FLAIR MRI.
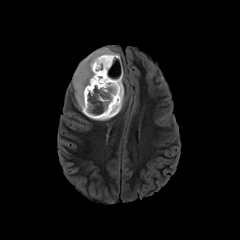
T1-weighted MR.
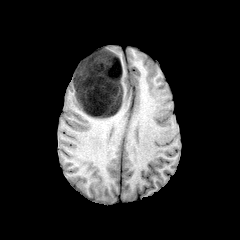
Post-contrast T1-weighted MR.
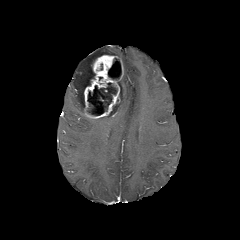
T2-weighted MRI.
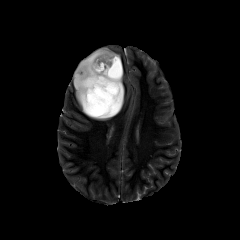
Brain | Axial plane
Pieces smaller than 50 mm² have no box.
enhancing tumor: 84,55,123,118
peritumoral edema: 115,75,124,115; 72,47,120,114; 92,116,112,120
necrotic tumor core: 108,58,121,79; 87,83,117,115; 109,102,120,115